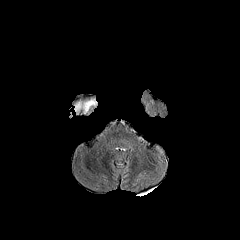
FLAIR MR image.
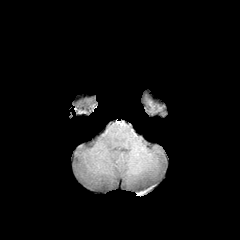
T1-weighted MR of the same slice.
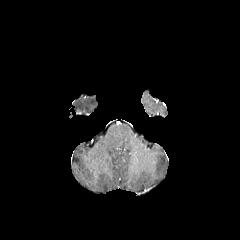
Same slice, post-contrast T1-weighted MRI.
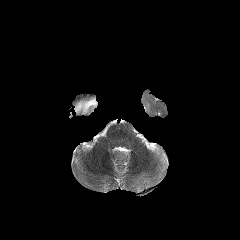
T2-weighted MR image of the same slice.
Axial view. Image size 240x240. Brain.
peritumoral edema: 74, 98, 97, 113